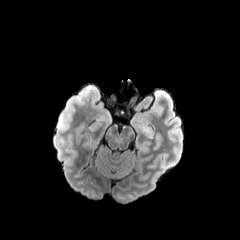
FLAIR MRI.
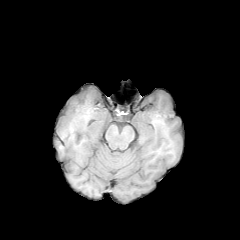
Same slice, T1-weighted MRI.
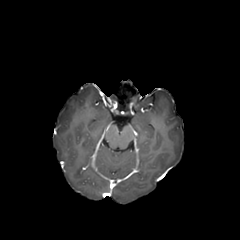
Post-contrast T1-weighted MR of the same slice.
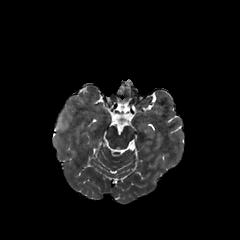
Same slice, T2-weighted MR image.
240x240 px | Head | Axial view
The peritumoral edema lies within region(58, 116, 63, 128).